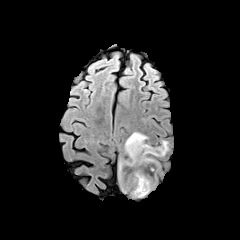
FLAIR MR.
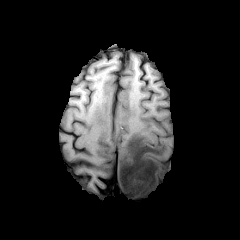
T1-weighted MRI.
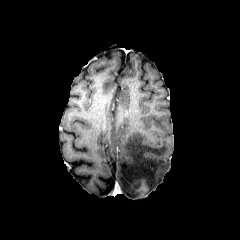
Post-contrast T1-weighted MR image of the same slice.
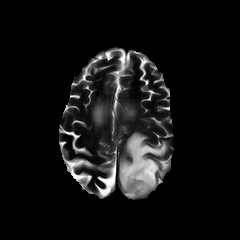
T2-weighted MRI of the same slice.
240x240. Brain. Axial plane.
<segmentation>
  <enhancing_tumor>136:179:148:195</enhancing_tumor>
  <peritumoral_edema>118:132:168:197</peritumoral_edema>
</segmentation>